FLAIR MR.
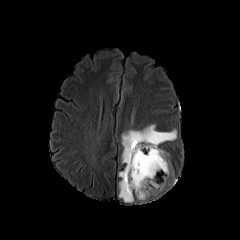
T1-weighted MRI.
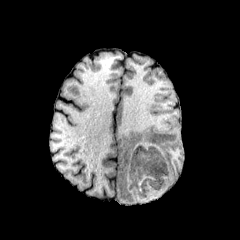
Post-contrast T1-weighted MR image.
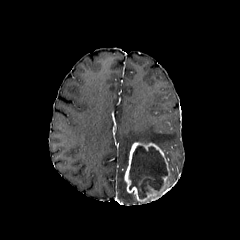
T2-weighted MR.
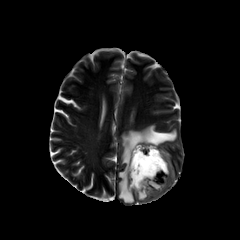
Axial view
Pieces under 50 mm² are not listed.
Findings:
- necrotic tumor core: (left=129, top=146, right=167, bottom=198)
- peritumoral edema: (left=118, top=124, right=176, bottom=202)
- enhancing tumor: (left=124, top=142, right=171, bottom=202)